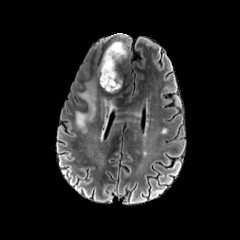
FLAIR MR image.
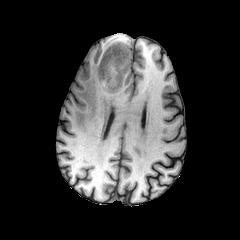
T1-weighted MR.
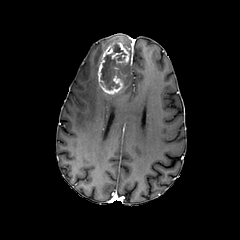
Post-contrast T1-weighted MRI.
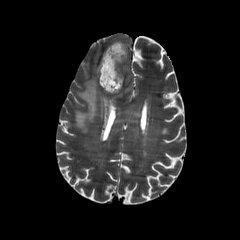
T2-weighted MRI of the same slice.
Head
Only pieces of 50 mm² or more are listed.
necrotic_tumor_core:
  - x1=113 y1=45 x2=125 y2=60
  - x1=101 y1=55 x2=119 y2=89
peritumoral_edema:
  - x1=101 y1=97 x2=114 y2=127
  - x1=75 y1=81 x2=97 y2=132
enhancing_tumor:
  - x1=98 y1=42 x2=129 y2=94